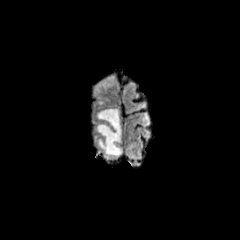
FLAIR magnetic resonance.
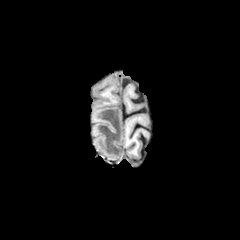
T1-weighted MR image of the same slice.
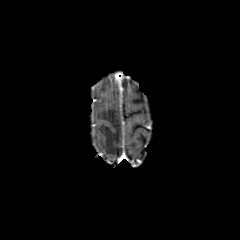
Post-contrast T1-weighted MR image of the same slice.
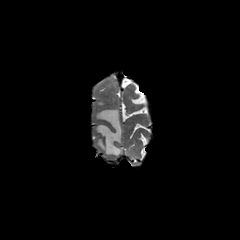
Same slice, T2-weighted MRI.
Axial slice, 240x240 px, Brain
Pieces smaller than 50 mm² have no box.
<segmentation>
  <peritumoral_edema><box>95,108,121,157</box></peritumoral_edema>
</segmentation>